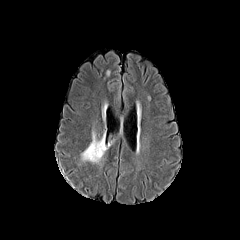
FLAIR magnetic resonance.
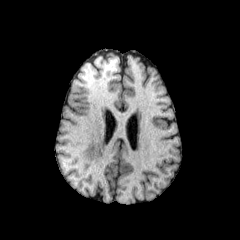
T1-weighted MRI.
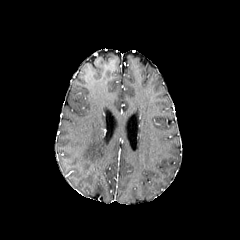
Same slice, post-contrast T1-weighted MR image.
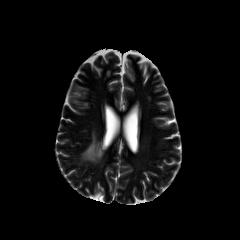
Same slice, T2-weighted MR image.
Axial view | Head
peritumoral_edema:
  - {"x1": 81, "y1": 131, "x2": 106, "y2": 163}